Slice 83/155
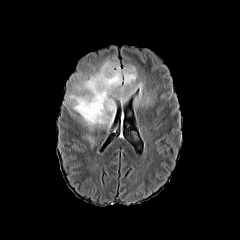
FLAIR MR.
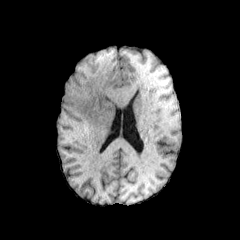
T1-weighted MR.
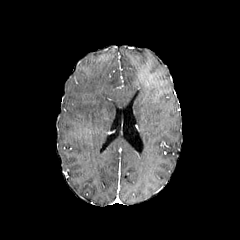
Post-contrast T1-weighted MR.
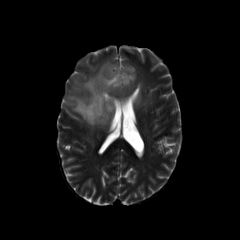
T2-weighted magnetic resonance.
The peritumoral edema is bounded by (67, 61, 153, 126).